240x240; Axial slice; Brain
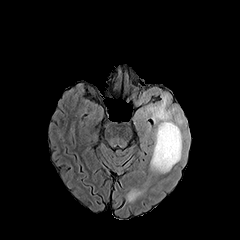
FLAIR MRI.
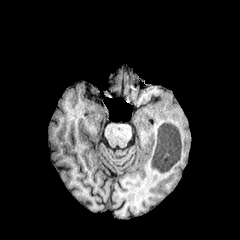
T1-weighted MR.
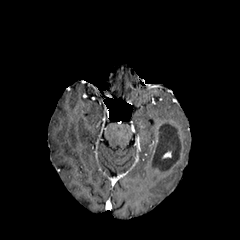
Same slice, post-contrast T1-weighted MR.
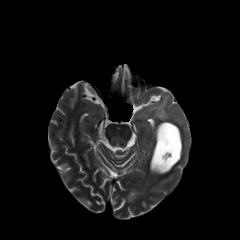
T2-weighted magnetic resonance.
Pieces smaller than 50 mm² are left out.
<segmentation>
  <peritumoral_edema>box(144, 94, 185, 173)</peritumoral_edema>
  <enhancing_tumor>box(162, 151, 171, 158)</enhancing_tumor>
  <necrotic_tumor_core>box(153, 123, 181, 170)</necrotic_tumor_core>
</segmentation>